Axial slice | Slice index 116 | Head | Image width 240 mm
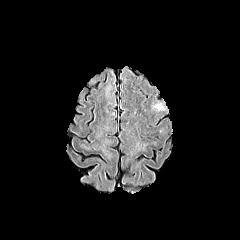
FLAIR MR.
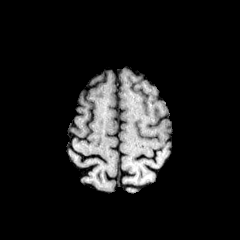
T1-weighted MR image of the same slice.
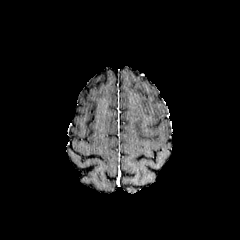
Post-contrast T1-weighted magnetic resonance of the same slice.
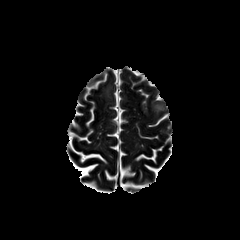
T2-weighted magnetic resonance of the same slice.
The peritumoral edema is located at [153, 103, 163, 110].